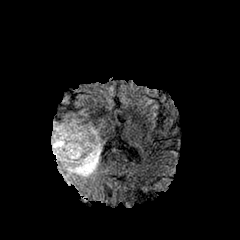
FLAIR MR image.
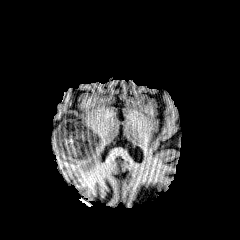
Same slice, T1-weighted MRI.
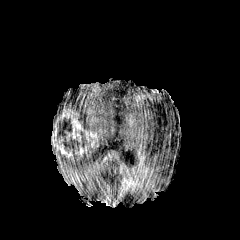
Same slice, post-contrast T1-weighted MR.
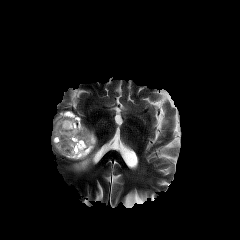
Same slice, T2-weighted MR.
Head, 240x240
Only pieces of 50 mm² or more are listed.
The largest necrotic tumor core region is located at (left=57, top=119, right=79, bottom=152). The enhancing tumor lies within (left=52, top=111, right=98, bottom=159). The largest peritumoral edema region lies within (left=51, top=126, right=102, bottom=176).